FLAIR magnetic resonance.
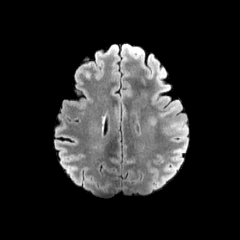
T1-weighted MRI.
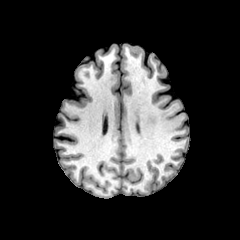
Post-contrast T1-weighted MR.
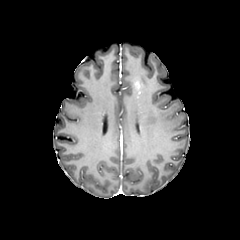
T2-weighted MR.
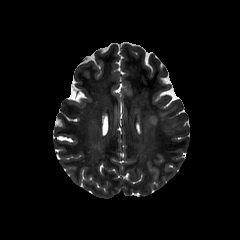
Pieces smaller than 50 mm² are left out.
peritumoral edema: <bbox>150, 116, 158, 124</bbox>